FLAIR MR image.
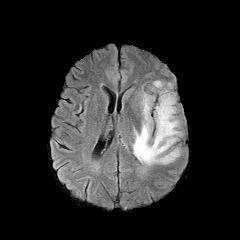
T1-weighted magnetic resonance.
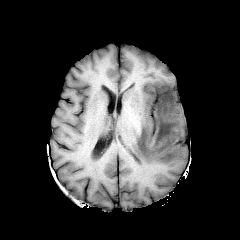
Post-contrast T1-weighted MRI.
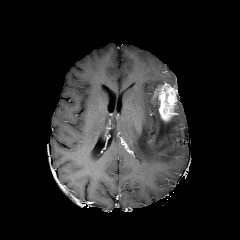
T2-weighted MR image.
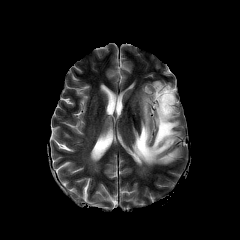
Brain
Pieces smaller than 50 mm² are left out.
The enhancing tumor is bounded by left=153, top=83, right=177, bottom=121. The 2 largest peritumoral edema regions are bounded by left=153, top=80, right=164, bottom=91; left=132, top=93, right=180, bottom=165.